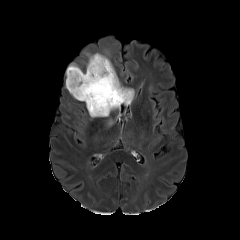
FLAIR magnetic resonance.
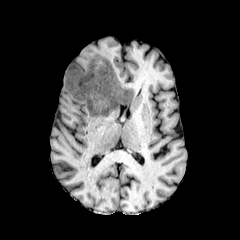
T1-weighted magnetic resonance.
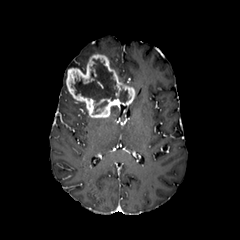
Post-contrast T1-weighted MR image.
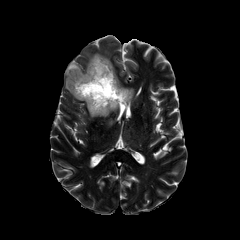
Same slice, T2-weighted MRI.
Axial plane.
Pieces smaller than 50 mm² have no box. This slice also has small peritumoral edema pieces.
Segmented structures:
* enhancing tumor: x1=66 y1=54 x2=135 y2=117
* necrotic tumor core: x1=94 y1=101 x2=107 y2=113, x1=118 y1=89 x2=127 y2=102, x1=74 y1=59 x2=117 y2=102